Slice 104/155 | Axial slice | Image width 240 mm | Brain
FLAIR MR image.
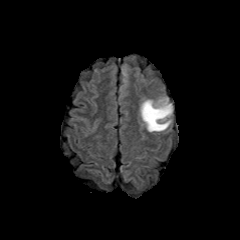
T1-weighted MR.
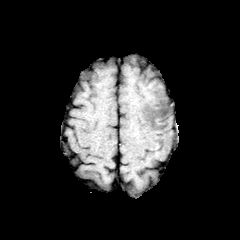
Post-contrast T1-weighted magnetic resonance.
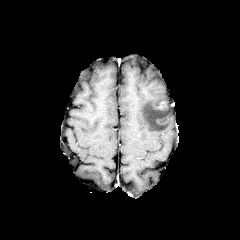
T2-weighted MR.
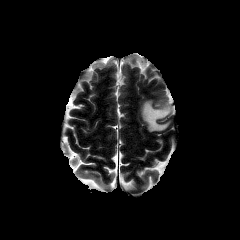
The peritumoral edema is bounded by <bbox>140, 97, 172, 131</bbox>. The enhancing tumor is at <bbox>159, 101, 166, 109</bbox>.